FLAIR MR.
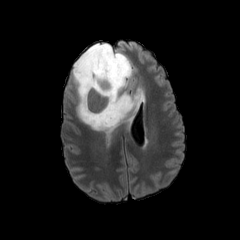
T1-weighted magnetic resonance.
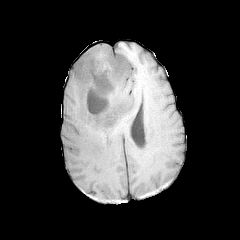
Post-contrast T1-weighted MR.
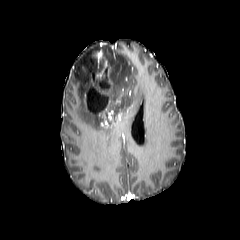
T2-weighted MR.
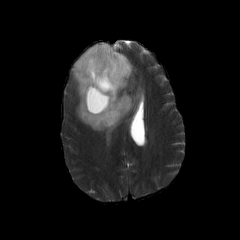
Axial slice, Head
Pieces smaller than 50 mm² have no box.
2 necrotic tumor core regions are located at box(99, 65, 111, 90); box(87, 87, 107, 113). The 4 largest enhancing tumor regions are bounded by box(108, 69, 114, 83); box(92, 50, 103, 64); box(96, 108, 122, 127); box(91, 59, 115, 98). The largest peritumoral edema region is bounded by box(71, 43, 142, 135).